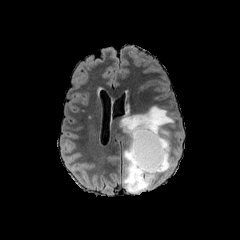
FLAIR magnetic resonance.
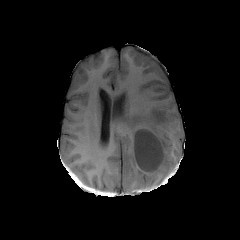
T1-weighted MRI.
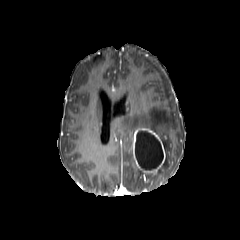
Same slice, post-contrast T1-weighted MR image.
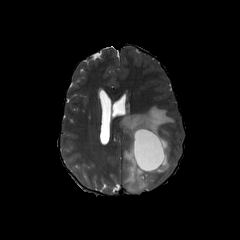
T2-weighted magnetic resonance.
Head.
Segmented structures:
• enhancing tumor: {"x1": 132, "y1": 128, "x2": 165, "y2": 173}
• necrotic tumor core: {"x1": 135, "y1": 130, "x2": 163, "y2": 170}
• peritumoral edema: {"x1": 121, "y1": 106, "x2": 174, "y2": 192}